FLAIR magnetic resonance.
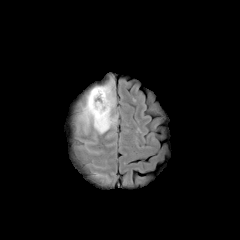
T1-weighted magnetic resonance.
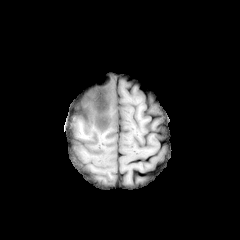
Post-contrast T1-weighted MR.
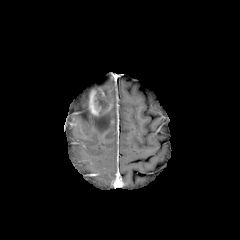
T2-weighted MR image.
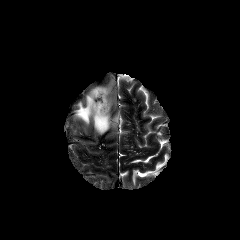
240x240 | Axial plane
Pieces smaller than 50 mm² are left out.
peritumoral_edema:
  - x1=66, y1=73, x2=117, y2=136
enhancing_tumor:
  - x1=89, y1=87, x2=112, y2=115